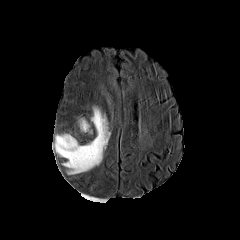
FLAIR MR.
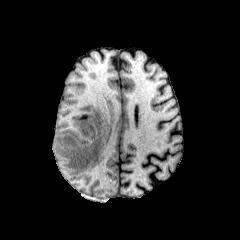
T1-weighted MRI.
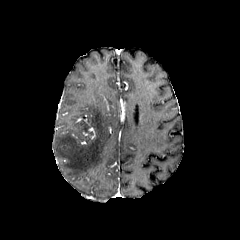
Same slice, post-contrast T1-weighted magnetic resonance.
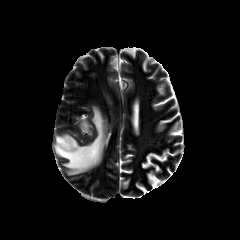
T2-weighted magnetic resonance of the same slice.
Axial slice
2 peritumoral edema regions appear at [80, 120, 89, 131], [53, 106, 109, 174].